Axial slice | 240x240 | Head
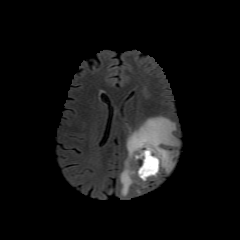
FLAIR MR.
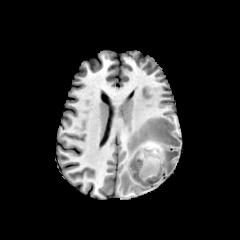
T1-weighted magnetic resonance.
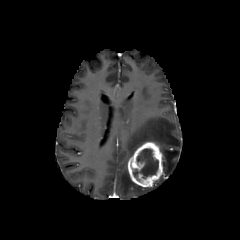
Same slice, post-contrast T1-weighted MR.
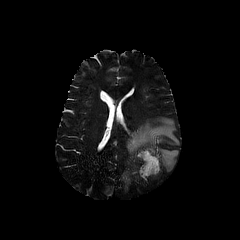
T2-weighted MR image.
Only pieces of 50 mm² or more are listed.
<segmentation>
  <peritumoral_edema>box=[160, 147, 177, 173]; box=[120, 116, 179, 195]</peritumoral_edema>
  <enhancing_tumor>box=[128, 142, 163, 187]</enhancing_tumor>
  <necrotic_tumor_core>box=[133, 149, 158, 178]</necrotic_tumor_core>
</segmentation>